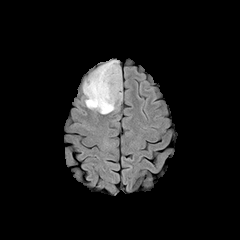
FLAIR magnetic resonance.
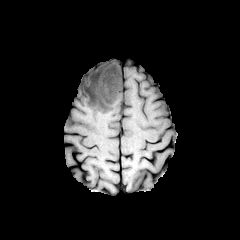
T1-weighted MR image of the same slice.
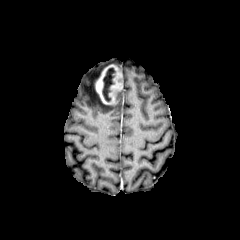
Same slice, post-contrast T1-weighted magnetic resonance.
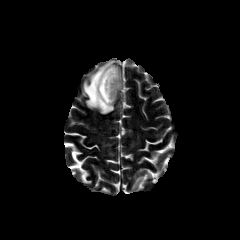
Same slice, T2-weighted MR image.
Brain.
enhancing tumor = 94:64:122:104
peritumoral edema = 82:60:122:114
necrotic tumor core = 102:67:115:101